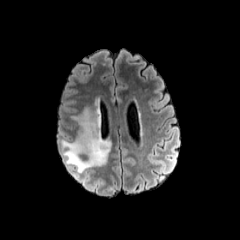
FLAIR MR image.
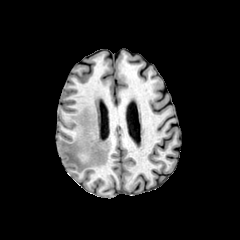
T1-weighted magnetic resonance of the same slice.
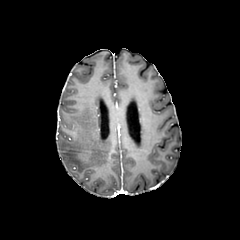
Same slice, post-contrast T1-weighted magnetic resonance.
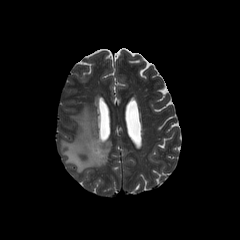
T2-weighted MR image.
240x240 px | Brain
The peritumoral edema is located at region(61, 98, 110, 173).